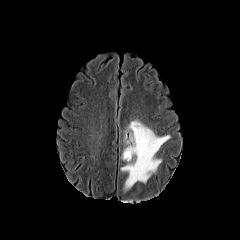
FLAIR magnetic resonance.
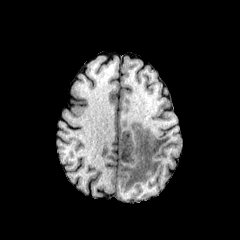
T1-weighted magnetic resonance.
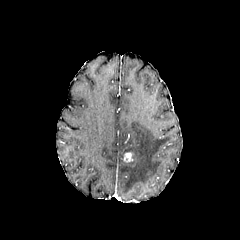
Same slice, post-contrast T1-weighted magnetic resonance.
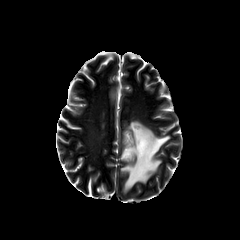
T2-weighted MRI of the same slice.
240x240 px | Axial view
<segmentation>
  <peritumoral_edema>{"x1": 121, "y1": 120, "x2": 170, "y2": 191}</peritumoral_edema>
  <enhancing_tumor>{"x1": 123, "y1": 152, "x2": 132, "y2": 162}</enhancing_tumor>
</segmentation>